240x240 px
FLAIR MRI.
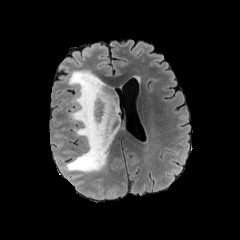
T1-weighted MR.
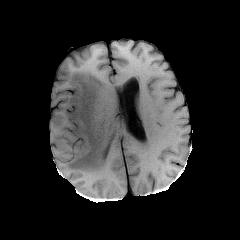
Post-contrast T1-weighted magnetic resonance.
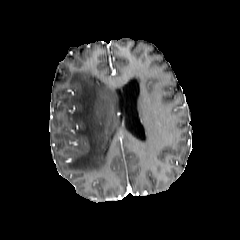
T2-weighted MR image.
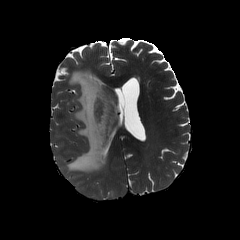
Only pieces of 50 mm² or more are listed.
The largest peritumoral edema region is located at <bbox>65, 70, 120, 173</bbox>.